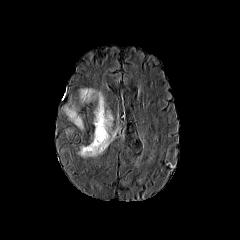
FLAIR MR.
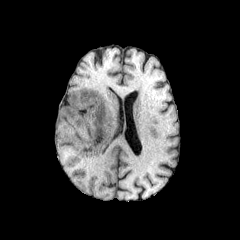
T1-weighted magnetic resonance of the same slice.
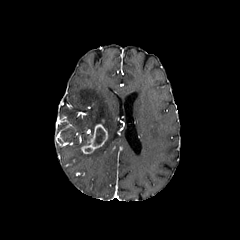
Post-contrast T1-weighted MR image.
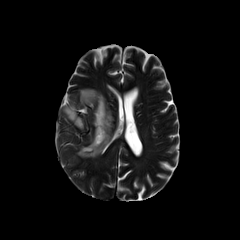
Same slice, T2-weighted MR image.
240x240 px. Axial plane. Brain.
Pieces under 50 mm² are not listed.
enhancing_tumor:
  - (81,123,107,153)
peritumoral_edema:
  - (77,88,115,157)
  - (63,106,83,129)
necrotic_tumor_core:
  - (94,127,105,145)